FLAIR MR.
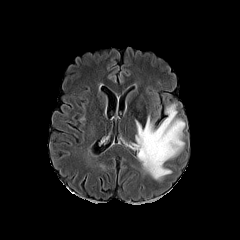
T1-weighted MRI.
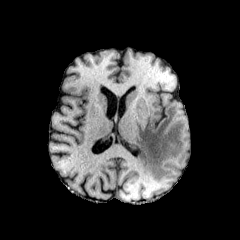
Post-contrast T1-weighted MR image.
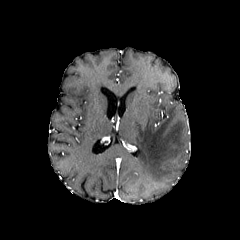
T2-weighted MR.
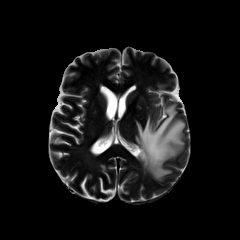
peritumoral edema at 131,102,185,180